Brain; Axial view; Slice 68/155
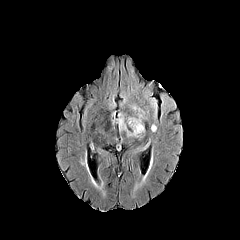
FLAIR magnetic resonance.
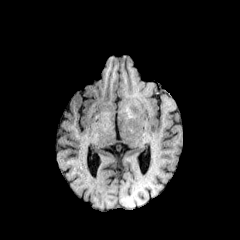
T1-weighted MR.
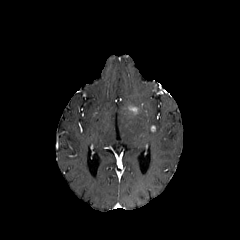
Same slice, post-contrast T1-weighted magnetic resonance.
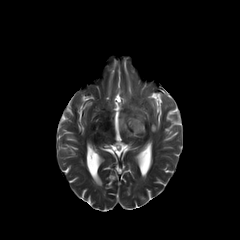
T2-weighted MRI of the same slice.
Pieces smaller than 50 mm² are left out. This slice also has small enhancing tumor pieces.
The largest peritumoral edema region appears at bbox=[118, 112, 144, 137].